Axial slice | Brain
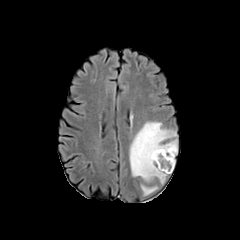
FLAIR magnetic resonance.
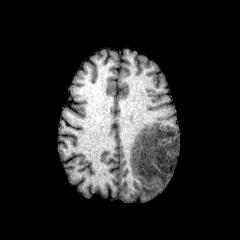
Same slice, T1-weighted magnetic resonance.
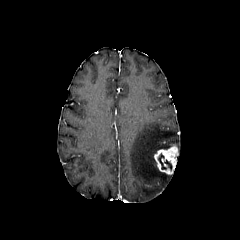
Post-contrast T1-weighted magnetic resonance.
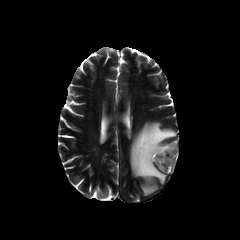
T2-weighted MRI.
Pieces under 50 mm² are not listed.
<segmentation>
  <necrotic_tumor_core>x1=158 y1=153 x2=166 y2=169</necrotic_tumor_core>
  <enhancing_tumor>x1=154 y1=144 x2=177 y2=174</enhancing_tumor>
  <peritumoral_edema>x1=130 y1=122 x2=177 y2=184, x1=141 y1=185 x2=158 y2=195</peritumoral_edema>
</segmentation>